FLAIR MRI.
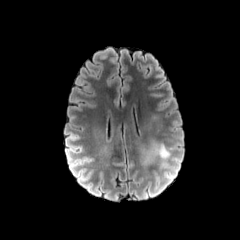
T1-weighted MR.
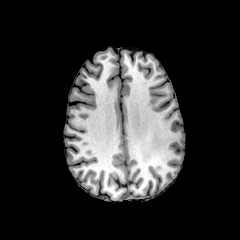
Post-contrast T1-weighted MR image.
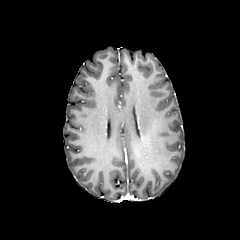
T2-weighted MRI.
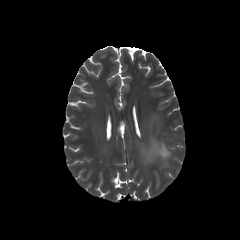
Axial slice
• peritumoral edema: [x1=152, y1=143, x2=170, y2=160]